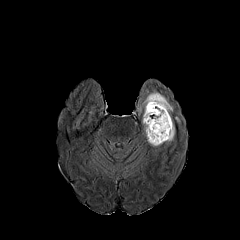
FLAIR MR.
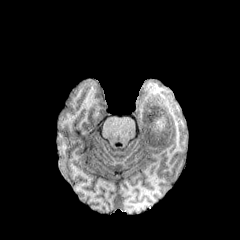
T1-weighted MRI.
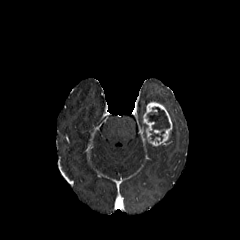
Post-contrast T1-weighted MR image.
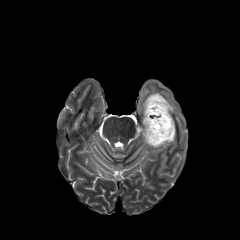
T2-weighted magnetic resonance.
Axial slice; Brain
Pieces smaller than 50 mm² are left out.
peritumoral_edema:
  - region(137, 81, 181, 152)
necrotic_tumor_core:
  - region(147, 107, 169, 129)
  - region(150, 131, 164, 140)
enhancing_tumor:
  - region(142, 101, 172, 146)